FLAIR magnetic resonance.
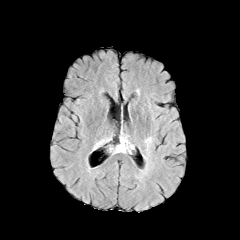
T1-weighted magnetic resonance.
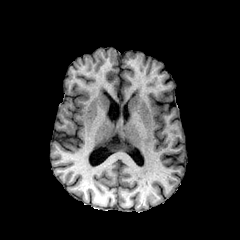
Post-contrast T1-weighted MR.
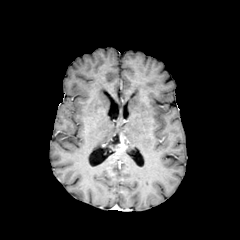
T2-weighted magnetic resonance.
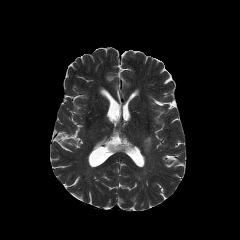
Head
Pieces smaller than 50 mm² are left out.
enhancing_tumor:
  - (x1=111, y1=135, x2=127, y2=152)
peritumoral_edema:
  - (x1=94, y1=138, x2=110, y2=148)
  - (x1=145, y1=137, x2=151, y2=150)
necrotic_tumor_core:
  - (x1=106, y1=140, x2=120, y2=149)